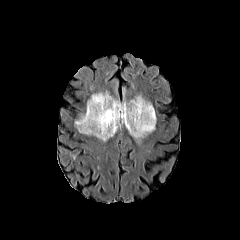
FLAIR magnetic resonance.
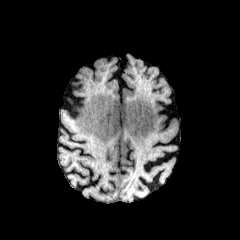
Same slice, T1-weighted MRI.
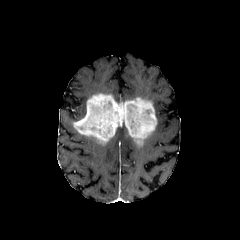
Post-contrast T1-weighted magnetic resonance.
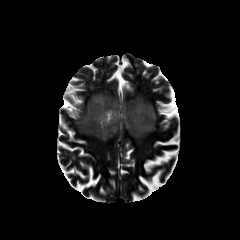
T2-weighted MR.
Axial plane | Image size 240x240 | Brain
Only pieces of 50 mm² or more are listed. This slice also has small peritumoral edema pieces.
enhancing tumor: bbox=[74, 93, 156, 145]